Slice 64/155; Image width 240 mm; Head
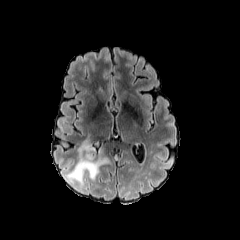
FLAIR MR.
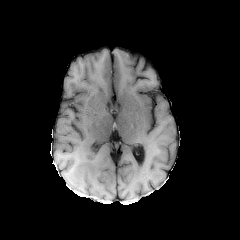
T1-weighted MR image.
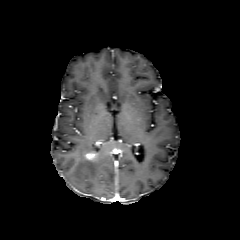
Same slice, post-contrast T1-weighted MR image.
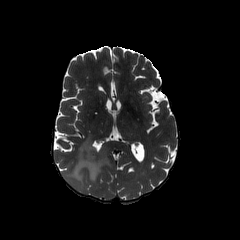
T2-weighted MR image.
The peritumoral edema is located at {"x1": 69, "y1": 137, "x2": 109, "y2": 184}. The enhancing tumor is bounded by {"x1": 85, "y1": 152, "x2": 95, "y2": 159}.